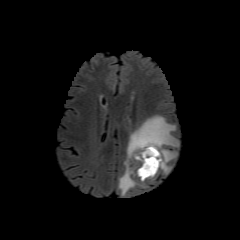
FLAIR MR image.
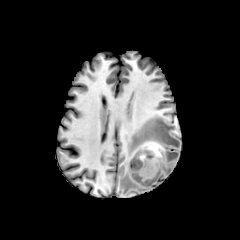
T1-weighted MR image.
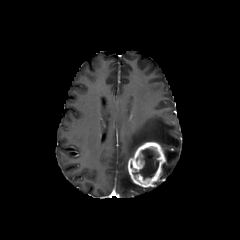
Post-contrast T1-weighted magnetic resonance of the same slice.
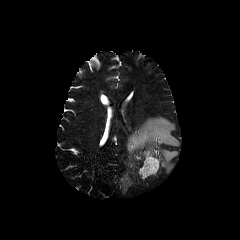
T2-weighted MRI.
Brain.
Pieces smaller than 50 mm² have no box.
<segmentation>
  <enhancing_tumor>(128,142,166,187)</enhancing_tumor>
  <necrotic_tumor_core>(133,148,158,179)</necrotic_tumor_core>
  <peritumoral_edema>(119,115,179,195), (162,148,177,174)</peritumoral_edema>
</segmentation>